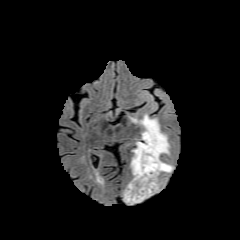
FLAIR MRI.
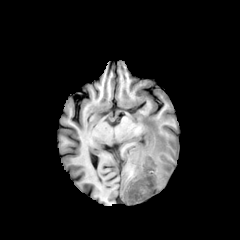
T1-weighted MR.
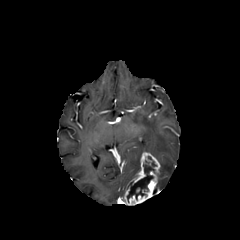
Post-contrast T1-weighted MRI.
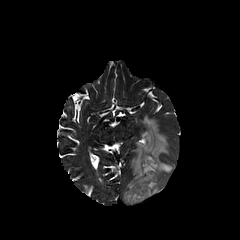
T2-weighted MRI.
240x240 px
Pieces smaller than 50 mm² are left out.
peritumoral edema at <box>130,115,172,177</box>
enhancing tumor at <box>123,152,160,205</box>
necrotic tumor core at <box>127,160,156,201</box>